FLAIR MRI.
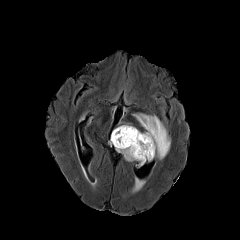
T1-weighted MRI.
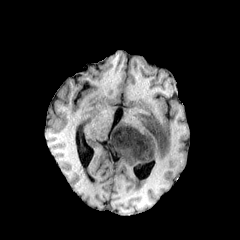
Post-contrast T1-weighted magnetic resonance.
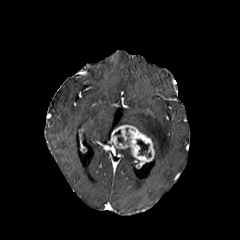
T2-weighted magnetic resonance.
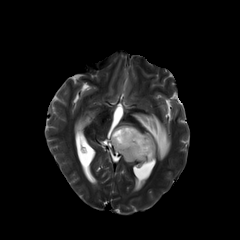
Axial plane | 240x240 px
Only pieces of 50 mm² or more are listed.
enhancing tumor: bounding box 110 125 154 163
peritumoral edema: bounding box 116 149 136 161, 133 113 170 159
necrotic tumor core: bounding box 114 130 123 144, 137 140 151 157